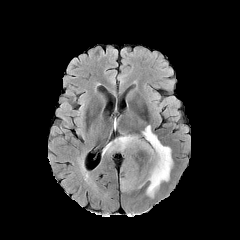
FLAIR MR.
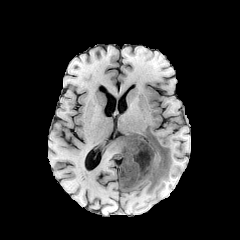
T1-weighted magnetic resonance.
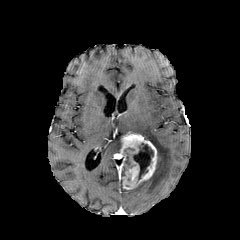
Same slice, post-contrast T1-weighted magnetic resonance.
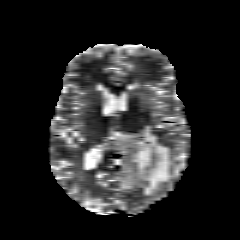
T2-weighted magnetic resonance.
240x240, Axial plane
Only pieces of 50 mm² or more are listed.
enhancing tumor at <box>120,133,157,189</box>
necrotic tumor core at <box>133,143,153,179</box>
peritumoral edema at <box>102,137,121,154</box>, <box>142,125,172,196</box>